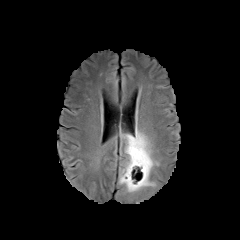
FLAIR MRI.
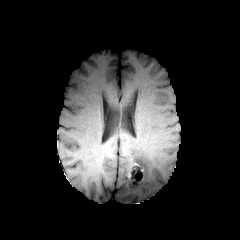
T1-weighted MRI.
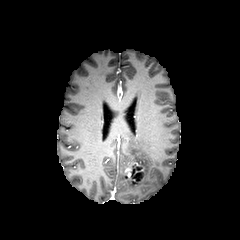
Same slice, post-contrast T1-weighted MR.
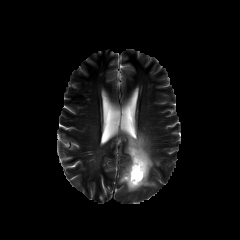
T2-weighted MR image.
Axial view, 240x240 px
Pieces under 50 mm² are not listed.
peritumoral_edema:
  - rect(119, 129, 159, 192)
enhancing_tumor:
  - rect(124, 163, 144, 179)
necrotic_tumor_core:
  - rect(131, 170, 142, 180)